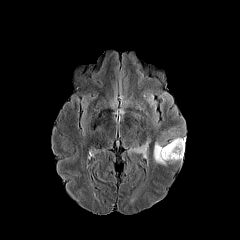
FLAIR MRI.
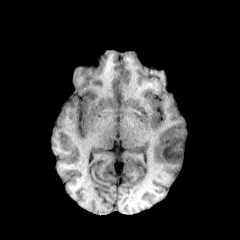
T1-weighted MR.
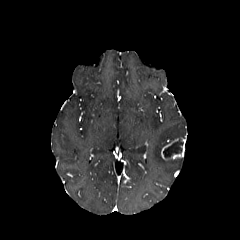
Post-contrast T1-weighted MR.
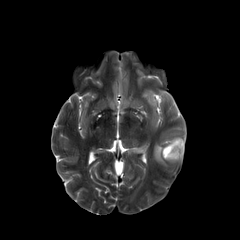
T2-weighted magnetic resonance.
Axial view.
<segmentation>
  <necrotic_tumor_core>(left=163, top=139, right=183, bottom=157)</necrotic_tumor_core>
  <enhancing_tumor>(left=161, top=138, right=185, bottom=160)</enhancing_tumor>
  <peritumoral_edema>(left=153, top=142, right=182, bottom=165), (left=131, top=145, right=145, bottom=153), (left=165, top=130, right=180, bottom=138)</peritumoral_edema>
</segmentation>